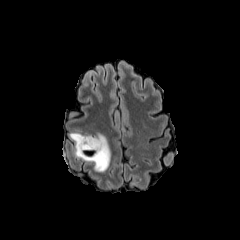
FLAIR MR image.
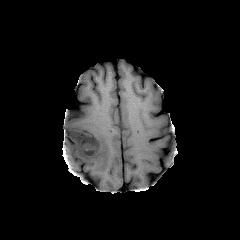
T1-weighted MRI.
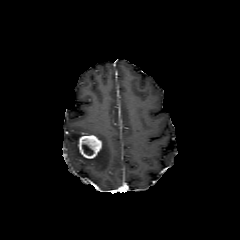
Post-contrast T1-weighted MRI.
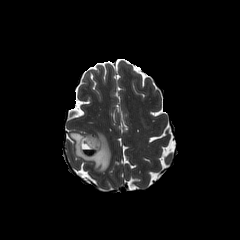
T2-weighted magnetic resonance of the same slice.
Axial view.
necrotic tumor core: rect(82, 144, 93, 155)
enhancing tumor: rect(78, 135, 101, 158)
peritumoral edema: rect(70, 131, 111, 172)